FLAIR MR image.
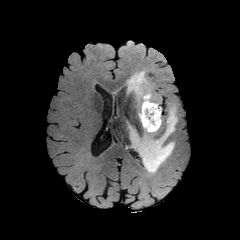
T1-weighted magnetic resonance.
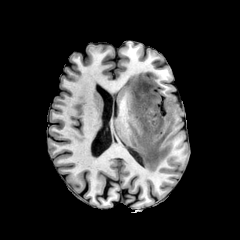
Post-contrast T1-weighted magnetic resonance.
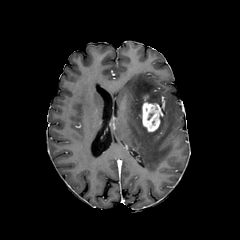
T2-weighted MR.
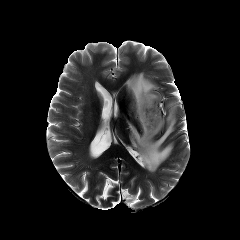
Brain | Axial slice
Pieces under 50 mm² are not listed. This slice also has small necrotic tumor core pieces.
enhancing tumor — [141, 95, 161, 131]
peritumoral edema — [126, 71, 177, 173]